Slice 55 of 155. Image covers 240 mm x 240 mm. Brain.
FLAIR MRI.
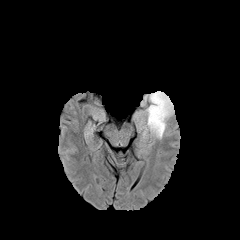
T1-weighted magnetic resonance.
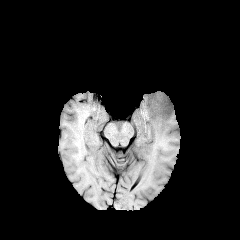
Post-contrast T1-weighted MR image.
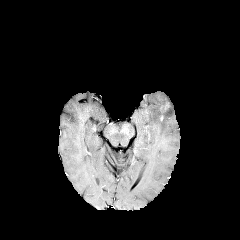
T2-weighted magnetic resonance.
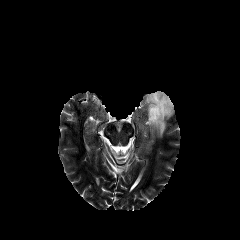
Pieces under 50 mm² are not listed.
Findings:
- enhancing tumor: left=161, top=102, right=169, bottom=111
- peritumoral edema: left=139, top=91, right=174, bottom=138